FLAIR MRI.
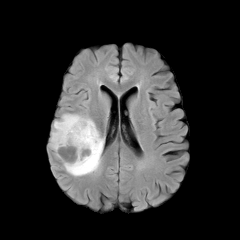
T1-weighted MRI.
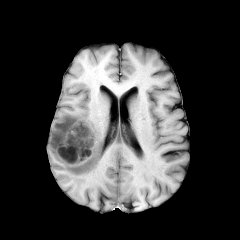
Post-contrast T1-weighted MRI.
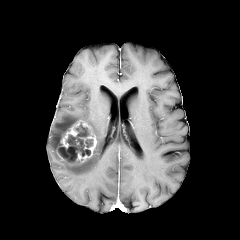
T2-weighted MRI.
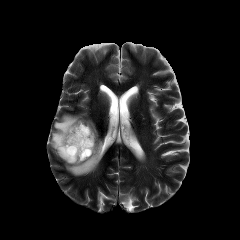
240x240 px
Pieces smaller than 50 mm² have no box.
The largest enhancing tumor region lies within <box>56,120,96,165</box>. The peritumoral edema lies within <box>49,114,103,176</box>. 2 necrotic tumor core regions are located at <box>85,139,92,147</box>, <box>58,123,90,163</box>.